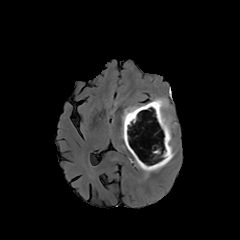
FLAIR magnetic resonance.
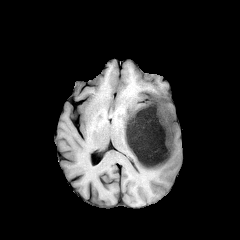
T1-weighted MRI.
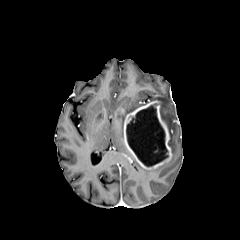
Post-contrast T1-weighted MRI.
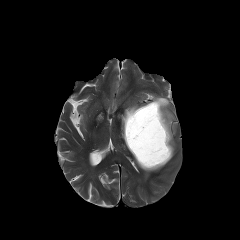
T2-weighted MR.
240x240 px
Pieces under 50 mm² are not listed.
peritumoral edema at 152, 97, 174, 157; 135, 160, 167, 173; 121, 105, 143, 139
enhancing tumor at 124, 100, 172, 169
necrotic tumor core at 126, 104, 168, 166